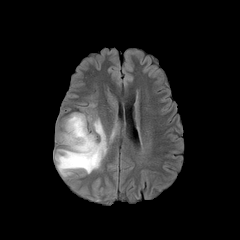
FLAIR MR.
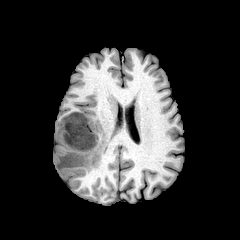
T1-weighted magnetic resonance.
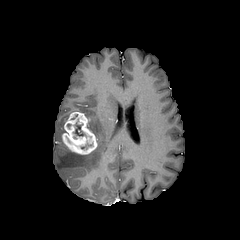
Same slice, post-contrast T1-weighted magnetic resonance.
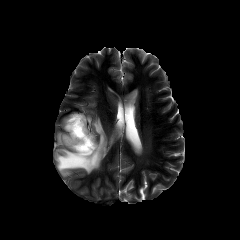
T2-weighted MRI.
Axial slice
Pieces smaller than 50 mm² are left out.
necrotic tumor core — box(75, 123, 84, 136)
enhancing tumor — box(62, 112, 97, 154)
peritumoral edema — box(54, 116, 107, 176)